Image width 240 mm; Axial slice; Brain; 240x240; Slice 104/155
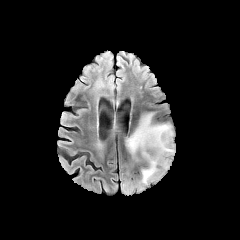
FLAIR magnetic resonance.
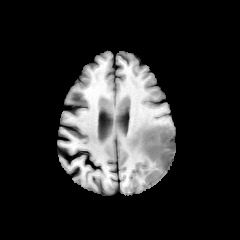
T1-weighted MR of the same slice.
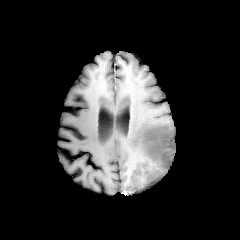
Post-contrast T1-weighted magnetic resonance.
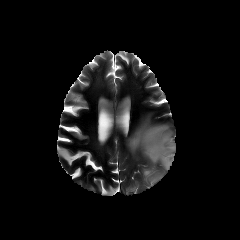
T2-weighted magnetic resonance.
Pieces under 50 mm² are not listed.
Findings:
* peritumoral edema: {"x1": 126, "y1": 113, "x2": 175, "y2": 184}
* necrotic tumor core: {"x1": 147, "y1": 133, "x2": 172, "y2": 165}
* enhancing tumor: {"x1": 168, "y1": 135, "x2": 174, "y2": 165}, {"x1": 144, "y1": 131, "x2": 163, "y2": 158}